240x240. Head. Axial plane.
FLAIR MRI.
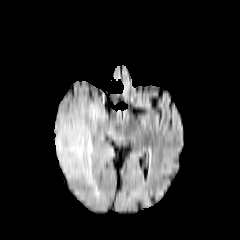
T1-weighted MRI.
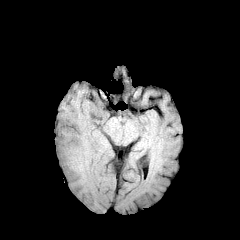
Post-contrast T1-weighted MRI.
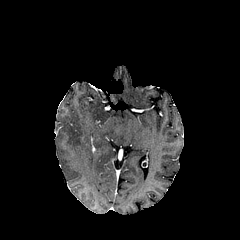
T2-weighted MR.
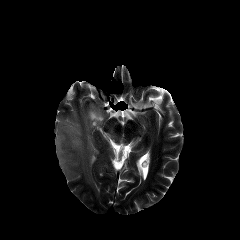
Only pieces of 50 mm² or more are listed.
The 3 largest peritumoral edema regions are located at region(107, 128, 117, 138); region(103, 147, 113, 159); region(55, 104, 105, 199).